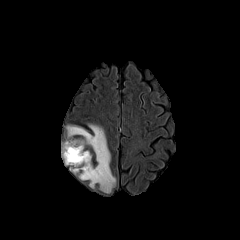
FLAIR MR image.
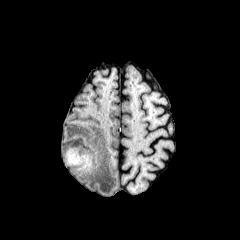
T1-weighted magnetic resonance.
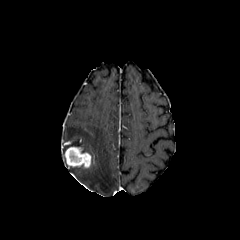
Post-contrast T1-weighted MR.
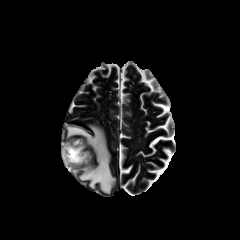
Same slice, T2-weighted MRI.
Head; Axial slice
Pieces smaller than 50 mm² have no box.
peritumoral_edema:
  - box(62, 124, 116, 193)
enhancing_tumor:
  - box(63, 146, 91, 168)